Slice 115/155, Axial slice, Head
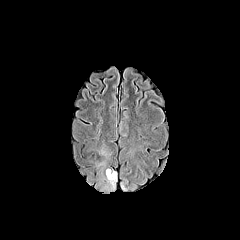
FLAIR MR image.
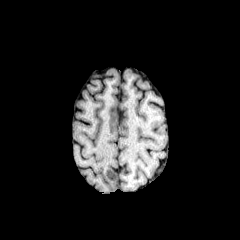
T1-weighted MRI of the same slice.
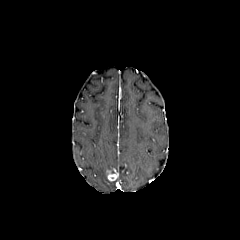
Post-contrast T1-weighted magnetic resonance.
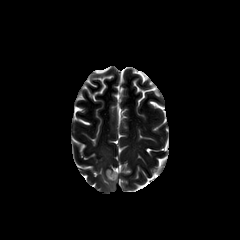
T2-weighted MR.
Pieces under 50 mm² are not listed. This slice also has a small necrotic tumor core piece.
The largest peritumoral edema region lies within (left=87, top=141, right=112, bottom=165). The enhancing tumor is located at (left=107, top=170, right=117, bottom=181).